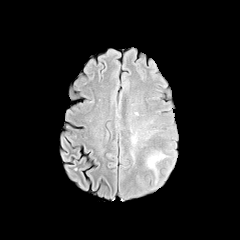
FLAIR magnetic resonance.
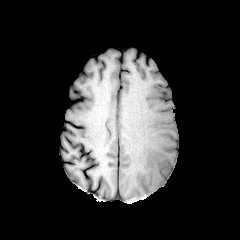
T1-weighted MR.
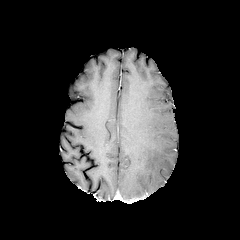
Post-contrast T1-weighted MR image of the same slice.
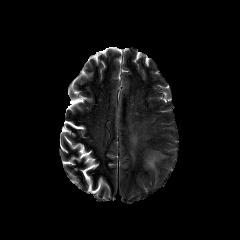
T2-weighted magnetic resonance.
Head
{
  "peritumoral_edema": [
    "131 134 138 157",
    "146 151 166 175"
  ]
}